FLAIR MR.
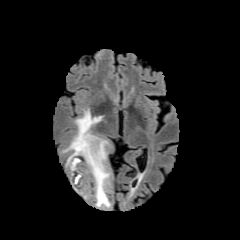
T1-weighted magnetic resonance.
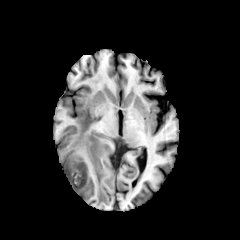
Post-contrast T1-weighted magnetic resonance.
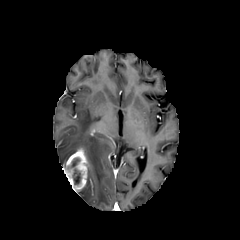
T2-weighted MRI.
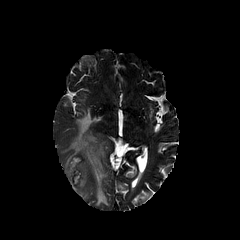
Axial slice.
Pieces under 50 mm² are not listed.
enhancing tumor — rect(64, 146, 88, 191)
necrotic tumor core — rect(65, 156, 84, 185)
peritumoral edema — rect(62, 109, 110, 206)